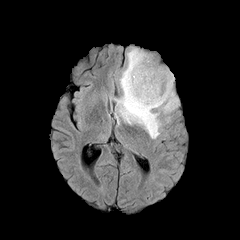
FLAIR MR image.
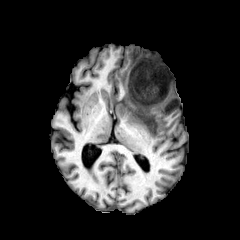
T1-weighted magnetic resonance.
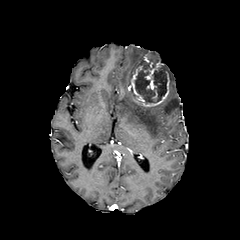
Post-contrast T1-weighted MR.
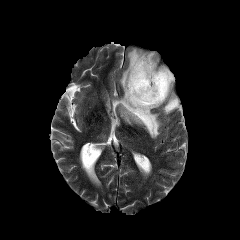
Same slice, T2-weighted MR.
Head, 240x240 px
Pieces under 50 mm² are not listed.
peritumoral edema: left=115, top=48, right=178, bottom=138
necrotic tumor core: left=152, top=68, right=167, bottom=101; left=135, top=63, right=156, bottom=103
enhancing tumor: left=128, top=55, right=169, bottom=106